FLAIR MR.
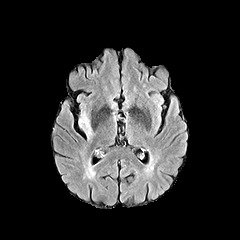
T1-weighted MRI.
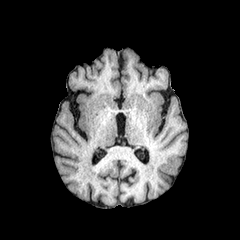
Post-contrast T1-weighted MR image.
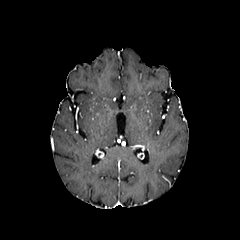
T2-weighted magnetic resonance.
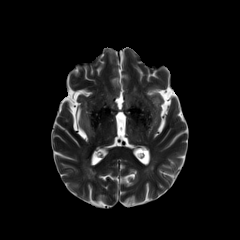
240x240 px
The peritumoral edema is located at left=79, top=114, right=91, bottom=135.